Axial view; Image width 240 mm, 1.00 mm slice spacing; Brain; Slice 42/155
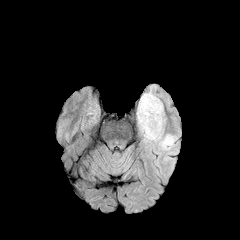
FLAIR MR.
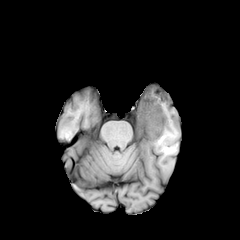
Same slice, T1-weighted MRI.
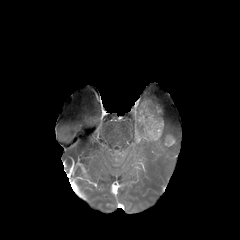
Post-contrast T1-weighted MRI.
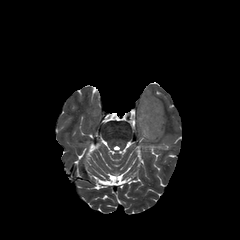
T2-weighted MR image.
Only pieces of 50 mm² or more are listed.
enhancing tumor — x1=136 y1=99 x2=163 y2=141
peritumoral edema — x1=136 y1=88 x2=176 y2=149